Head | Image width 240 mm, 1.00 mm slice spacing
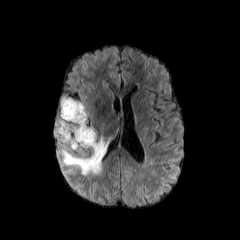
FLAIR MRI.
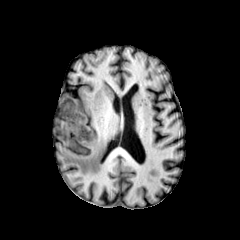
T1-weighted MR.
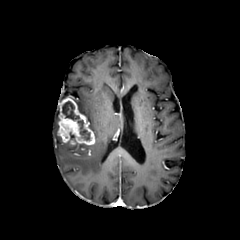
Same slice, post-contrast T1-weighted MR image.
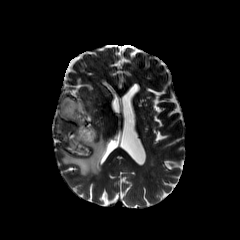
T2-weighted MR.
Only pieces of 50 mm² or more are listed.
enhancing tumor — 58, 97, 95, 145
necrotic tumor core — 62, 101, 89, 140
peritumoral edema — 61, 136, 107, 175; 76, 102, 86, 116